FLAIR MR image.
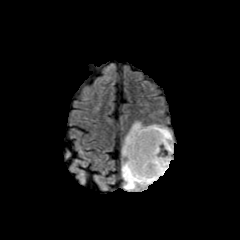
T1-weighted magnetic resonance.
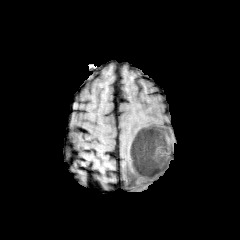
Post-contrast T1-weighted magnetic resonance.
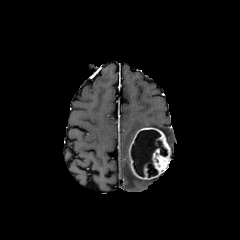
T2-weighted magnetic resonance.
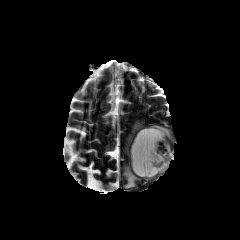
Head
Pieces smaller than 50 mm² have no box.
Annotated regions:
• peritumoral edema: bbox(148, 124, 173, 153); bbox(122, 121, 158, 189)
• necrotic tumor core: bbox(131, 130, 167, 177)
• enhancing tumor: bbox(128, 127, 171, 179)